Slice 78/155; Brain
FLAIR MR.
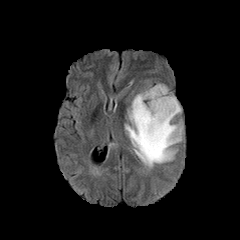
T1-weighted magnetic resonance.
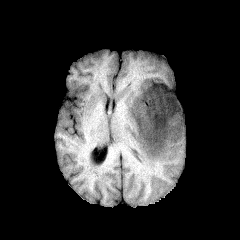
Post-contrast T1-weighted MRI.
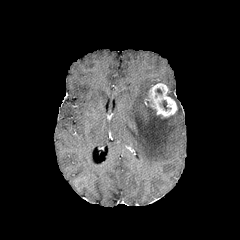
T2-weighted MRI.
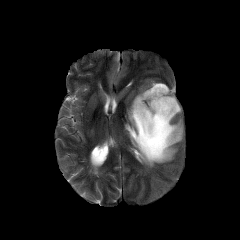
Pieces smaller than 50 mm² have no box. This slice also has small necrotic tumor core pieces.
The enhancing tumor appears at x1=146, y1=83, x2=177, y2=118. The peritumoral edema appears at x1=125, y1=86, x2=183, y2=167.